Brain
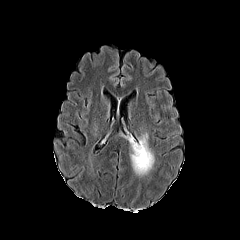
FLAIR magnetic resonance.
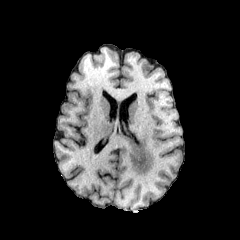
T1-weighted MRI.
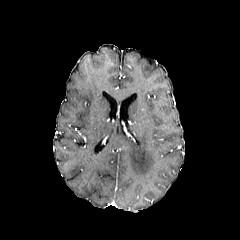
Same slice, post-contrast T1-weighted MR.
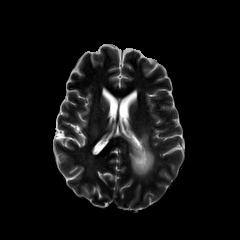
Same slice, T2-weighted MR.
The peritumoral edema is at (left=127, top=133, right=154, bottom=175).